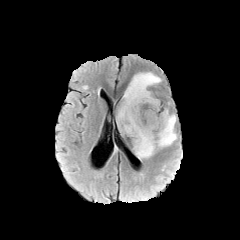
FLAIR MRI.
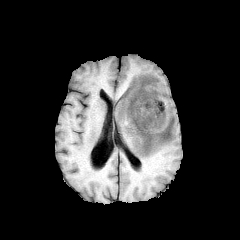
T1-weighted MR image.
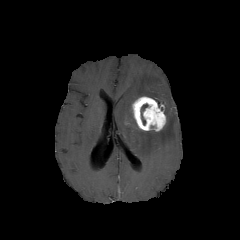
Post-contrast T1-weighted MRI.
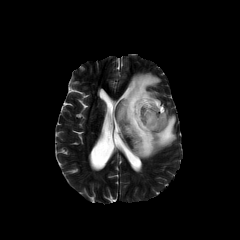
T2-weighted MRI.
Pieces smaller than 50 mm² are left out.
peritumoral edema: rect(116, 72, 177, 159) | necrotic tumor core: rect(141, 104, 147, 124) | enhancing tumor: rect(130, 96, 166, 131)